Brain
FLAIR magnetic resonance.
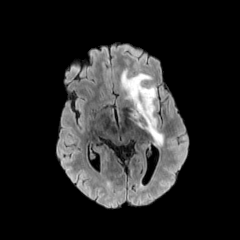
T1-weighted MR image.
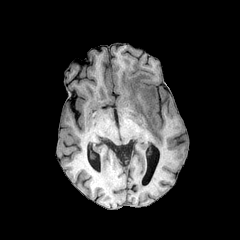
Post-contrast T1-weighted MRI.
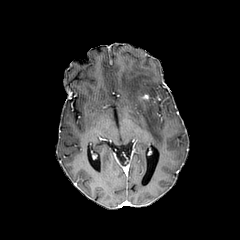
T2-weighted MRI.
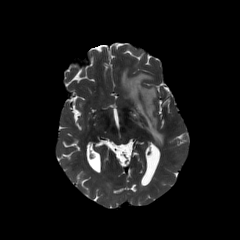
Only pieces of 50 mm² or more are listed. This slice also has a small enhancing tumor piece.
peritumoral edema at <bbox>121, 70, 163, 145</bbox>